Slice 122/155 | Axial slice
FLAIR magnetic resonance.
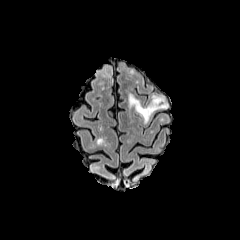
T1-weighted magnetic resonance.
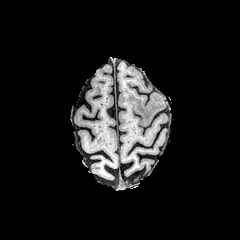
Post-contrast T1-weighted MRI.
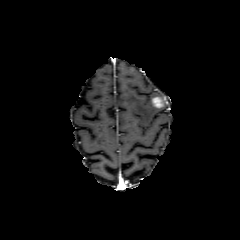
T2-weighted MR.
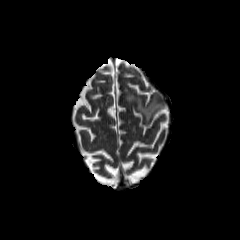
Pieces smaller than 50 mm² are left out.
enhancing_tumor:
  - <box>152,97,167,107</box>
peritumoral_edema:
  - <box>128,94,167,122</box>